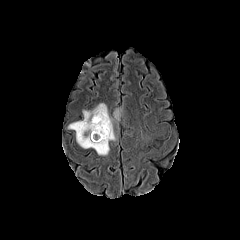
FLAIR MRI.
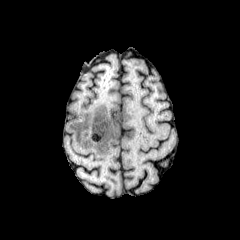
T1-weighted MR of the same slice.
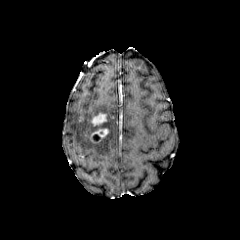
Post-contrast T1-weighted magnetic resonance of the same slice.
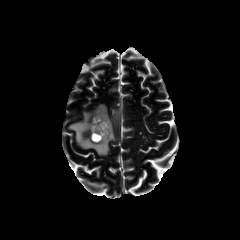
Same slice, T2-weighted MR.
Image size 240x240
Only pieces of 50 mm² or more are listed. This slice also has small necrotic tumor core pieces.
{"enhancing_tumor": ["bbox=[91, 113, 106, 126]", "bbox=[91, 128, 109, 142]"], "peritumoral_edema": ["bbox=[68, 103, 115, 155]"]}